FLAIR MR image.
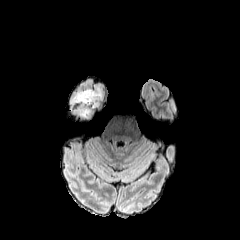
T1-weighted MR.
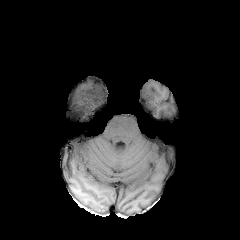
Post-contrast T1-weighted MR.
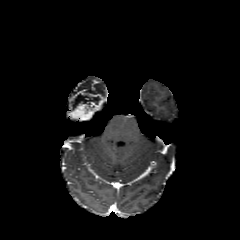
T2-weighted MRI.
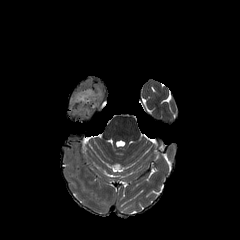
Axial slice
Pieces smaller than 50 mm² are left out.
enhancing tumor: (x1=71, y1=91, x2=102, y2=120) | necrotic tumor core: (x1=75, y1=93, x2=98, y2=104) | peritumoral edema: (x1=66, y1=96, x2=77, y2=120)